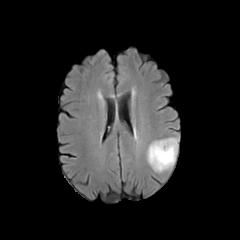
FLAIR MRI.
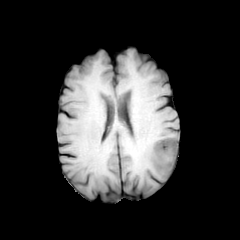
T1-weighted MRI of the same slice.
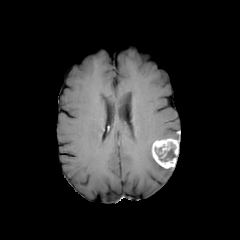
Same slice, post-contrast T1-weighted MRI.
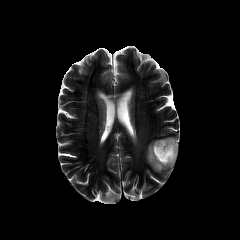
T2-weighted MR of the same slice.
Axial view.
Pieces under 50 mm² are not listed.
necrotic tumor core — box=[157, 148, 175, 161]
peritumoral edema — box=[146, 141, 171, 172]
enhancing tumor — box=[151, 138, 179, 168]